FLAIR MR.
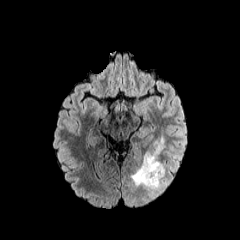
T1-weighted MR image.
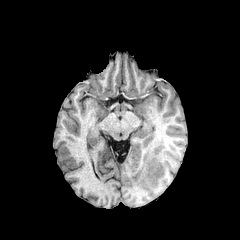
Post-contrast T1-weighted MR.
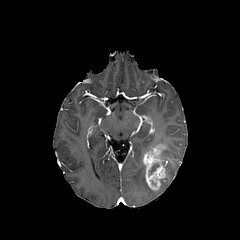
T2-weighted MR.
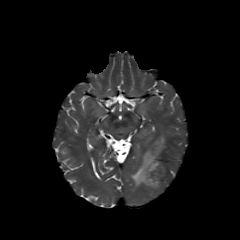
Head, 240x240
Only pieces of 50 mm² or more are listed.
The 2 largest peritumoral edema regions appear at (150,137,165,149), (131,160,161,193). The enhancing tumor is at (143,144,165,190). The largest necrotic tumor core region is bounded by (149,163,159,175).